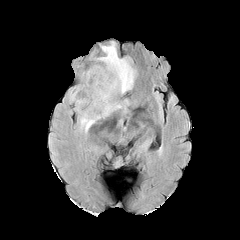
FLAIR MR.
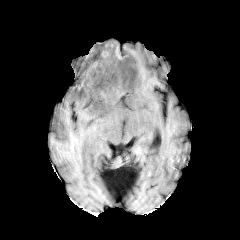
T1-weighted MRI.
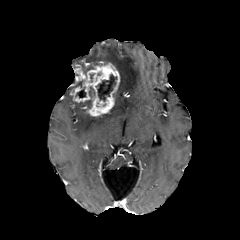
Post-contrast T1-weighted MR.
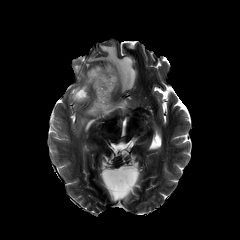
T2-weighted MR of the same slice.
Axial slice.
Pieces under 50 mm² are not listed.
Findings:
- peritumoral edema: bbox(97, 42, 136, 93); bbox(80, 99, 128, 132)
- necrotic tumor core: bbox(76, 89, 85, 97); bbox(97, 75, 116, 100)
- enhancing tumor: bbox(70, 62, 120, 116)